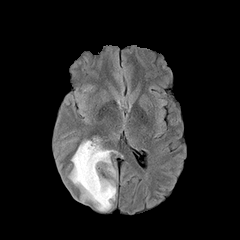
FLAIR magnetic resonance.
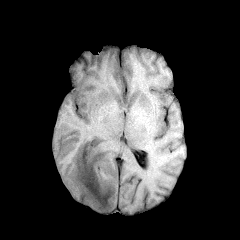
T1-weighted MR image.
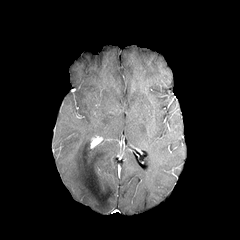
Post-contrast T1-weighted MR.
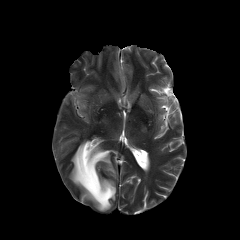
Same slice, T2-weighted MR image.
Findings:
• peritumoral edema: box(69, 140, 116, 211)